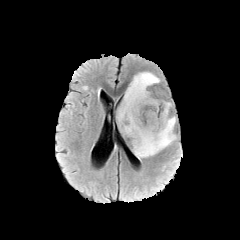
FLAIR MR image.
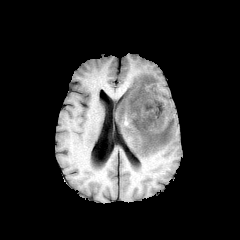
Same slice, T1-weighted magnetic resonance.
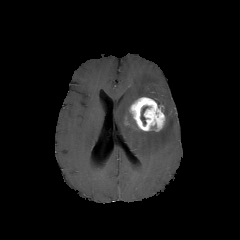
Same slice, post-contrast T1-weighted MR image.
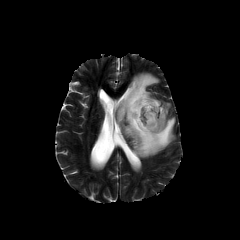
Same slice, T2-weighted MRI.
Axial plane
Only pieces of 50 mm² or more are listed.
• peritumoral edema: [x1=116, y1=72, x2=176, y2=159]
• enhancing tumor: [x1=128, y1=97, x2=165, y2=131]
• necrotic tumor core: [x1=141, y1=106, x2=147, y2=124]